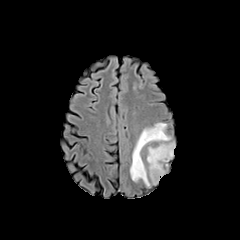
FLAIR MR image.
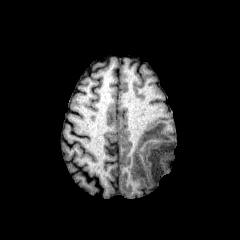
T1-weighted MR.
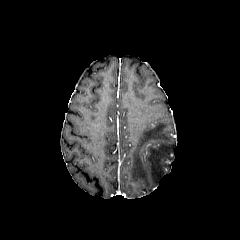
Post-contrast T1-weighted MR of the same slice.
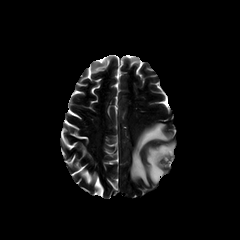
T2-weighted MR image of the same slice.
Head
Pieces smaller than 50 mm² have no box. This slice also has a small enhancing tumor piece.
<segmentation>
  <peritumoral_edema>l=130, t=123, r=174, b=186</peritumoral_edema>
</segmentation>